FLAIR MR.
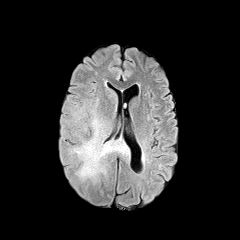
T1-weighted MR.
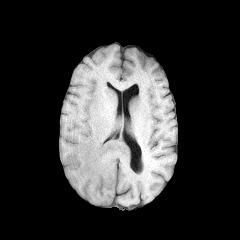
Post-contrast T1-weighted MR image.
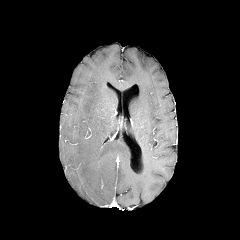
T2-weighted magnetic resonance.
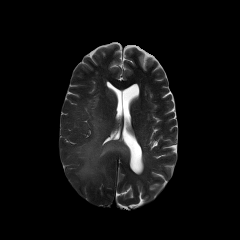
Brain. 240x240 px.
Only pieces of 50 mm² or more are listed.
Annotated regions:
* peritumoral edema: 71:99:128:181